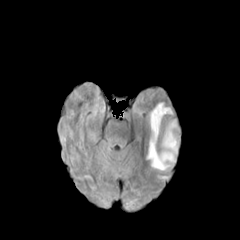
FLAIR MR image.
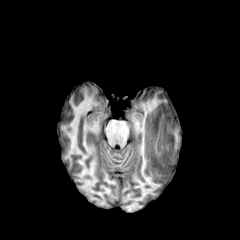
T1-weighted MRI.
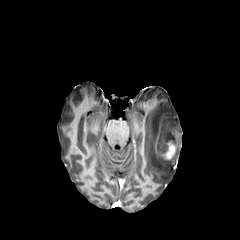
Post-contrast T1-weighted MR of the same slice.
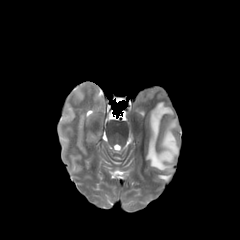
T2-weighted MR of the same slice.
Image size 240x240. Head. Axial view.
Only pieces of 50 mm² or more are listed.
necrotic tumor core: (left=160, top=136, right=175, bottom=152) | peritumoral edema: (left=147, top=103, right=175, bottom=170), (left=162, top=119, right=177, bottom=144) | enhancing tumor: (left=159, top=141, right=177, bottom=160)